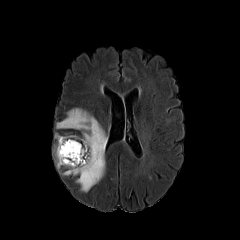
FLAIR MR image.
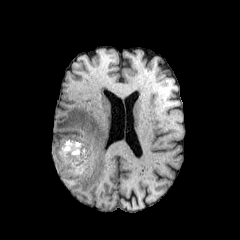
T1-weighted MRI.
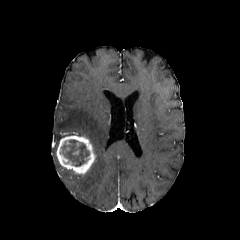
Post-contrast T1-weighted MR image of the same slice.
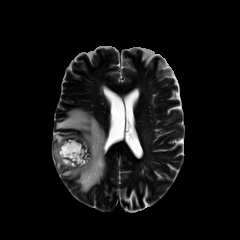
T2-weighted MR image of the same slice.
Head
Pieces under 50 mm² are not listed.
Segmented structures:
• enhancing tumor: box=[56, 135, 96, 174]
• peritumoral edema: box=[54, 134, 62, 155]; box=[56, 108, 107, 192]; box=[63, 169, 78, 175]
• necrotic tumor core: box=[61, 140, 89, 166]